Axial slice. Slice index 85. 240x240 px.
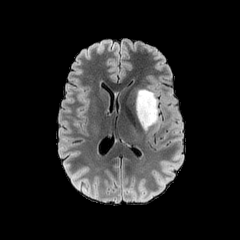
FLAIR MRI.
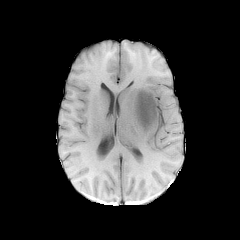
T1-weighted MR image of the same slice.
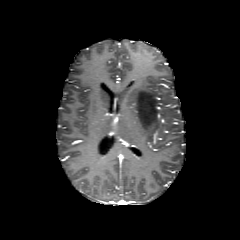
Post-contrast T1-weighted MR image.
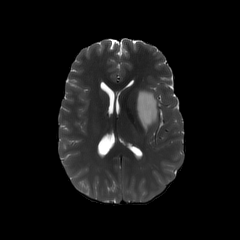
T2-weighted MR.
Segmented structures:
* peritumoral edema: [136, 89, 158, 131]